FLAIR MR.
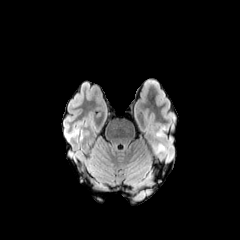
T1-weighted MRI.
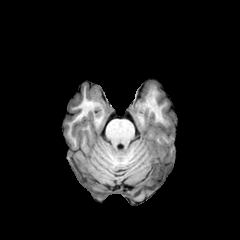
Post-contrast T1-weighted MR.
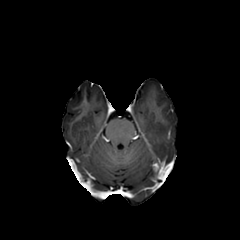
T2-weighted MR image.
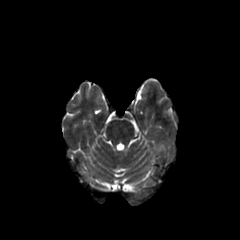
Axial plane.
<segmentation>
  <peritumoral_edema>box=[151, 143, 165, 153]</peritumoral_edema>
</segmentation>